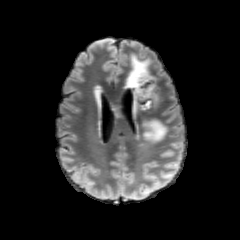
FLAIR MRI.
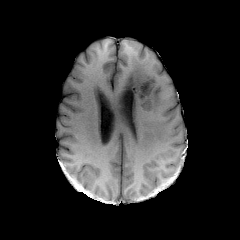
T1-weighted magnetic resonance of the same slice.
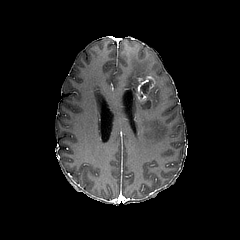
Post-contrast T1-weighted MR.
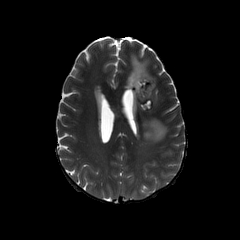
T2-weighted MR image.
Axial view
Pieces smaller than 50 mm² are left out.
peritumoral edema: bounding box (143,120,167,142), (126,54,151,109)
enhancing tumor: bounding box (136,75,155,101)
necrotic tumor core: bounding box (142,101,150,109), (140,80,151,94)